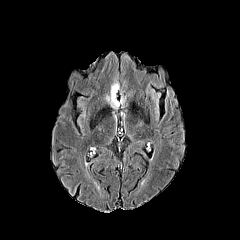
FLAIR magnetic resonance.
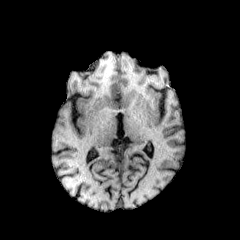
T1-weighted MR.
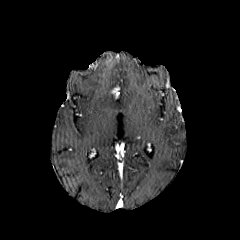
Post-contrast T1-weighted magnetic resonance of the same slice.
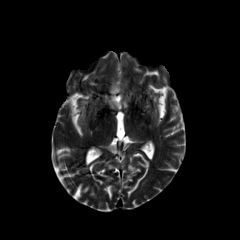
T2-weighted MRI.
Axial view, Head
enhancing tumor: 111 86 119 97 | peritumoral edema: 106 93 125 108, 111 80 119 90